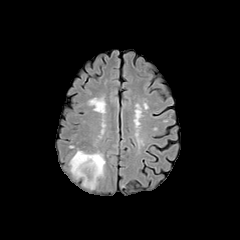
FLAIR MR image.
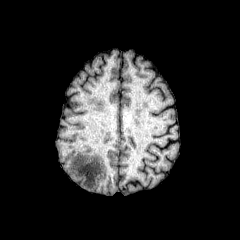
T1-weighted MR image.
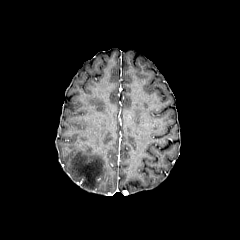
Post-contrast T1-weighted MRI.
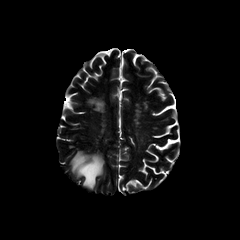
T2-weighted MR image of the same slice.
Image size 240x240. Head. Axial view.
{"peritumoral_edema": ["(70,150,105,189)"]}